Head, Axial view, 240x240 px, Slice 94/155
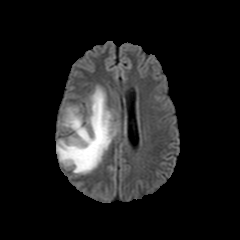
FLAIR MRI.
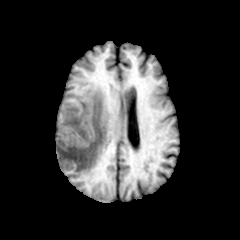
T1-weighted MR of the same slice.
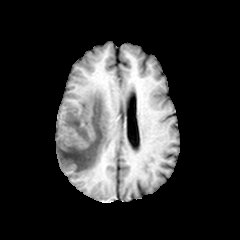
Post-contrast T1-weighted MR.
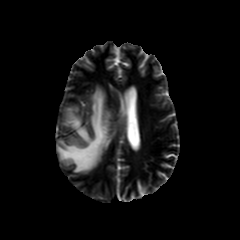
T2-weighted MR of the same slice.
{"peritumoral_edema": ["<box>56,86,116,173</box>"]}